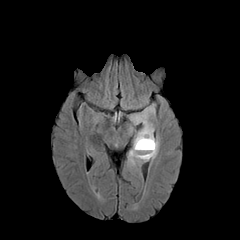
FLAIR MR.
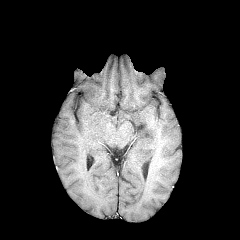
T1-weighted magnetic resonance.
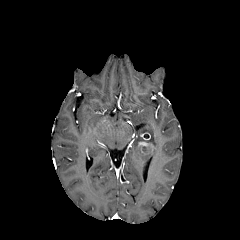
Post-contrast T1-weighted magnetic resonance.
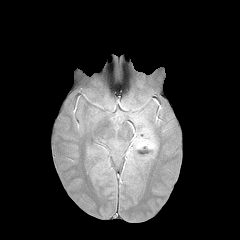
T2-weighted MR image.
Brain. 240x240.
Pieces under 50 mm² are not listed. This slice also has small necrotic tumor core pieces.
{"peritumoral_edema": ["x1=128 y1=104 x2=159 y2=164"], "enhancing_tumor": ["x1=138 y1=141 x2=152 y2=154"]}